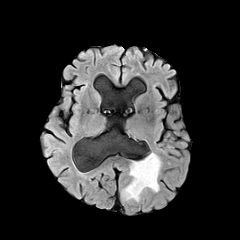
FLAIR MRI.
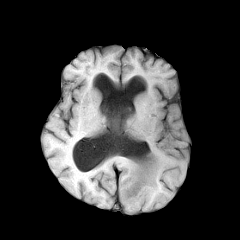
T1-weighted magnetic resonance of the same slice.
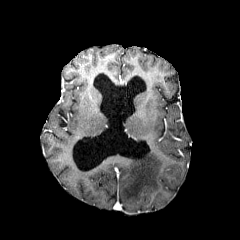
Post-contrast T1-weighted MR of the same slice.
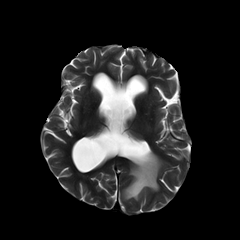
T2-weighted MR image.
240x240 px. Axial slice.
peritumoral_edema:
  - box(121, 152, 162, 201)